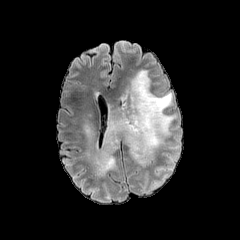
FLAIR MR image.
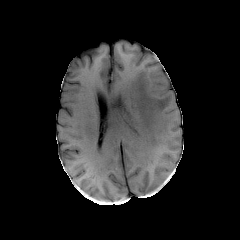
T1-weighted MR of the same slice.
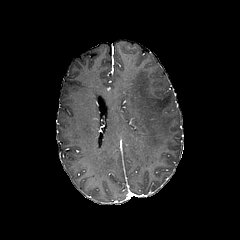
Post-contrast T1-weighted MR of the same slice.
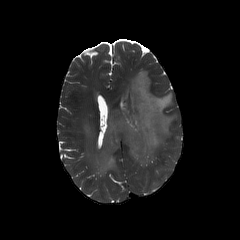
Same slice, T2-weighted MR.
Axial slice | Brain
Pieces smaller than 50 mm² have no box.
Findings:
• peritumoral edema: [x1=92, y1=69, x2=176, y2=176], [x1=83, y1=123, x2=94, y2=140]